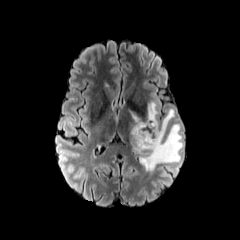
FLAIR magnetic resonance.
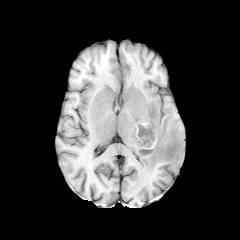
T1-weighted MR image of the same slice.
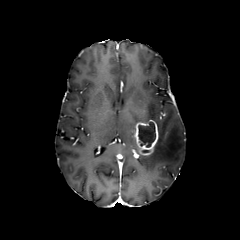
Post-contrast T1-weighted magnetic resonance.
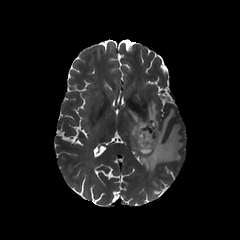
T2-weighted MR of the same slice.
Axial view. Head. Image size 240x240.
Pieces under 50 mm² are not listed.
{
  "peritumoral_edema": [
    "128:108:143:149",
    "138:101:183:173"
  ],
  "necrotic_tumor_core": [
    "138:121:156:147"
  ],
  "enhancing_tumor": [
    "133:120:158:157"
  ]
}